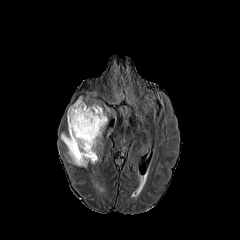
FLAIR MR.
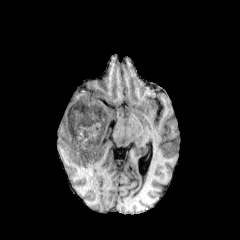
T1-weighted MR.
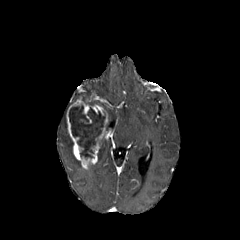
Same slice, post-contrast T1-weighted MR.
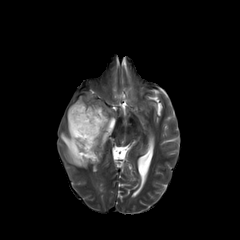
T2-weighted magnetic resonance of the same slice.
Head, Axial view
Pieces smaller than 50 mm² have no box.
The largest peritumoral edema region appears at rect(60, 133, 81, 166). The largest enhancing tumor region is bounded by rect(66, 96, 108, 168). The largest necrotic tumor core region appears at rect(69, 105, 105, 158).